Brain; Axial view
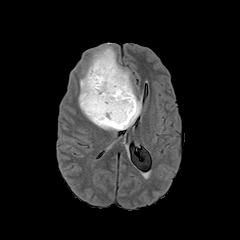
FLAIR magnetic resonance.
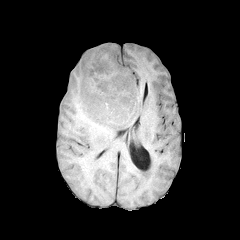
T1-weighted MRI.
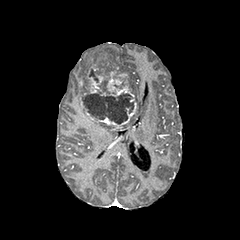
Post-contrast T1-weighted MRI of the same slice.
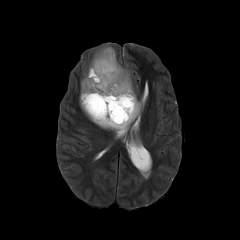
T2-weighted MRI.
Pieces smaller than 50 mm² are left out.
<segmentation>
  <enhancing_tumor>rect(82, 59, 136, 127)</enhancing_tumor>
  <necrotic_tumor_core>rect(84, 93, 134, 124)</necrotic_tumor_core>
  <peritumoral_edema>rect(78, 45, 141, 130)</peritumoral_edema>
</segmentation>